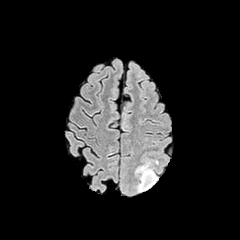
FLAIR MRI.
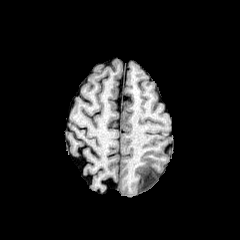
Same slice, T1-weighted magnetic resonance.
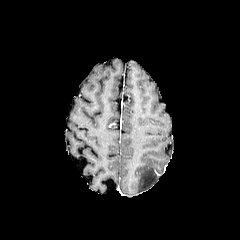
Same slice, post-contrast T1-weighted magnetic resonance.
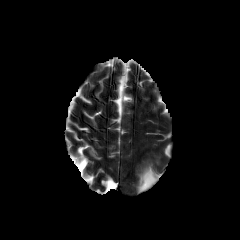
T2-weighted MR of the same slice.
Axial view | Image size 240x240 | Brain
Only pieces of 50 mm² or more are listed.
Segmented structures:
- peritumoral edema: {"x1": 137, "y1": 163, "x2": 158, "y2": 192}